FLAIR MR image.
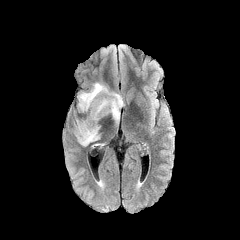
T1-weighted magnetic resonance.
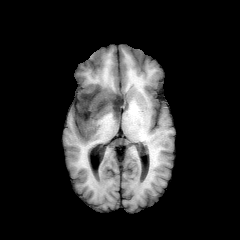
Post-contrast T1-weighted MR image.
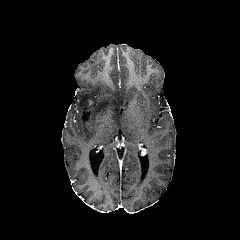
T2-weighted MRI.
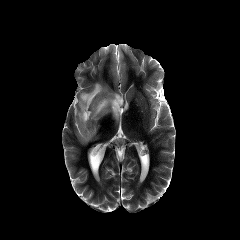
Head.
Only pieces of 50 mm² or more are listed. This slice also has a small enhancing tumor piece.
The peritumoral edema lies within box=[74, 83, 124, 146].